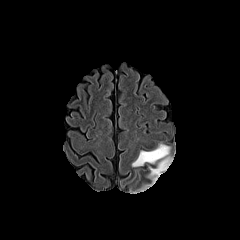
FLAIR MR.
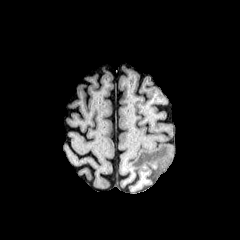
T1-weighted MR.
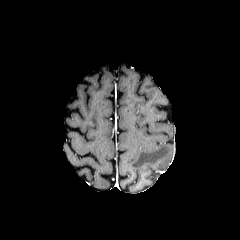
Post-contrast T1-weighted magnetic resonance.
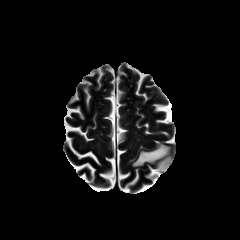
Same slice, T2-weighted magnetic resonance.
Axial plane; 240x240; Head
<segmentation>
  <peritumoral_edema>box=[132, 144, 171, 183]</peritumoral_edema>
</segmentation>